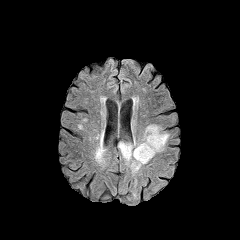
FLAIR MR image.
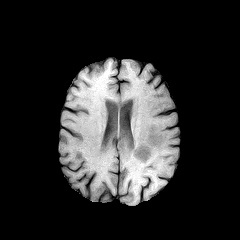
T1-weighted MR image.
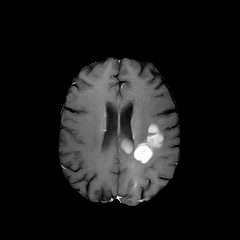
Post-contrast T1-weighted MR image.
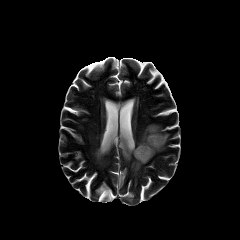
T2-weighted MRI of the same slice.
Head; Axial slice
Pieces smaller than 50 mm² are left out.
* enhancing tumor: l=121, t=141, r=132, b=153; l=133, t=124, r=163, b=163
* peritumoral edema: l=152, t=132, r=169, b=157; l=118, t=126, r=150, b=161; l=131, t=159, r=144, b=173